Axial plane.
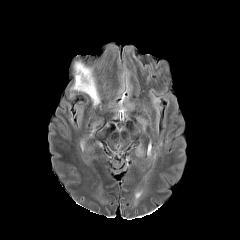
FLAIR MR image.
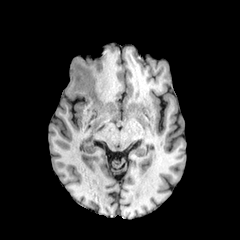
T1-weighted MR of the same slice.
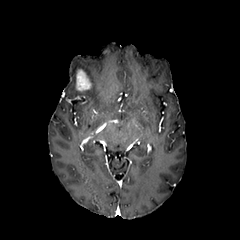
Post-contrast T1-weighted MRI of the same slice.
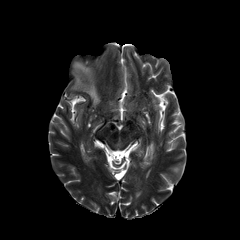
T2-weighted MR of the same slice.
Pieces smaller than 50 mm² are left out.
enhancing tumor at rect(76, 69, 91, 91)
peritumoral edema at rect(74, 62, 99, 105)